Axial slice | Slice 69 of 155
FLAIR magnetic resonance.
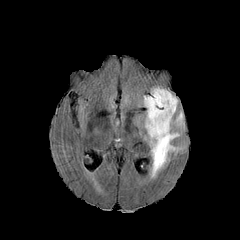
T1-weighted MR.
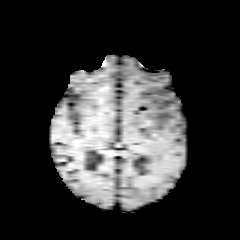
Post-contrast T1-weighted magnetic resonance.
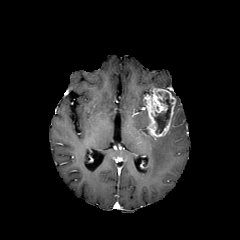
T2-weighted MR.
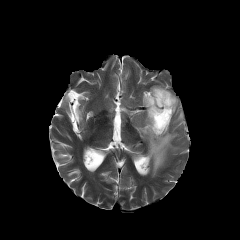
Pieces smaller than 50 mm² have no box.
The necrotic tumor core is at <bbox>154, 97, 171, 133</bbox>. The enhancing tumor is at <bbox>144, 88, 176, 139</bbox>. The 2 largest peritumoral edema regions are located at <bbox>144, 111, 148, 129</bbox>, <bbox>147, 112, 184, 177</bbox>.